FLAIR MR.
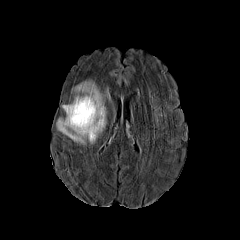
T1-weighted MRI.
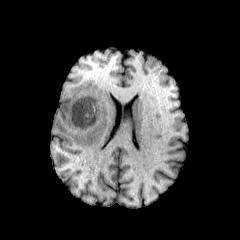
Post-contrast T1-weighted MRI.
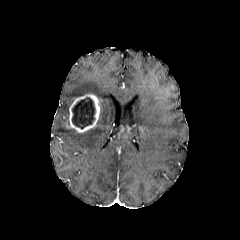
T2-weighted MRI.
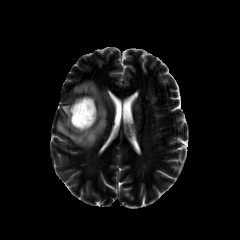
240x240; Brain
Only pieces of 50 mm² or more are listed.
Annotated regions:
* peritumoral edema: <bbox>56, 81, 106, 145</bbox>
* enhancing tumor: <bbox>66, 93, 100, 132</bbox>
* necrotic tumor core: <bbox>72, 97, 95, 128</bbox>